FLAIR MRI.
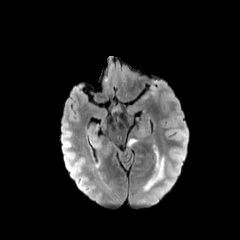
T1-weighted MRI.
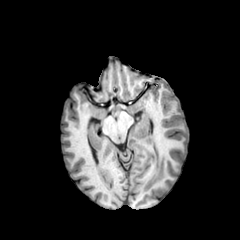
Post-contrast T1-weighted MRI.
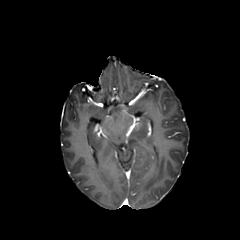
T2-weighted MRI.
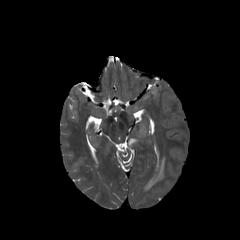
240x240.
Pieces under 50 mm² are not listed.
Findings:
* peritumoral edema: 144:150:164:190